FLAIR MRI.
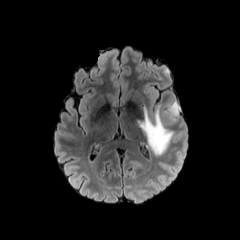
T1-weighted MR image.
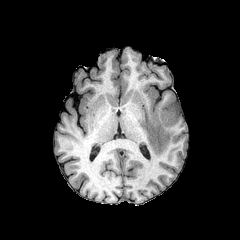
Post-contrast T1-weighted MR image.
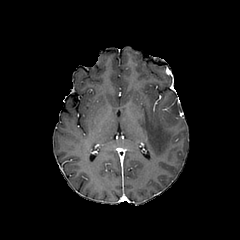
T2-weighted magnetic resonance.
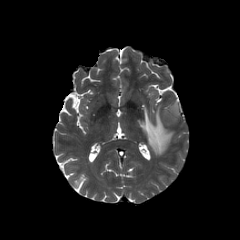
Axial slice
peritumoral edema — {"x1": 137, "y1": 98, "x2": 179, "y2": 155}